Image size 240x240. Axial plane.
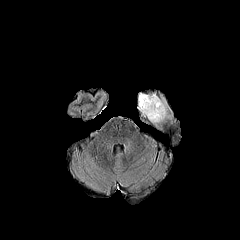
FLAIR MR.
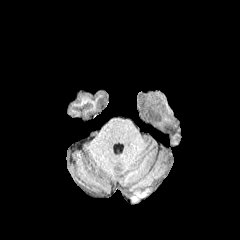
T1-weighted MR.
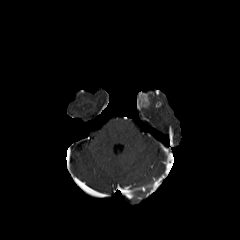
Post-contrast T1-weighted magnetic resonance.
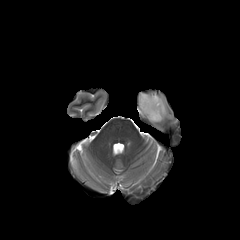
T2-weighted magnetic resonance.
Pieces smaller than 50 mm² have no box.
The largest enhancing tumor region is located at [138,92,149,108]. The largest peritumoral edema region lies within [138,94,169,124].